Head, 240x240 px, Image covers 240 mm x 240 mm, Slice 111/155
FLAIR magnetic resonance.
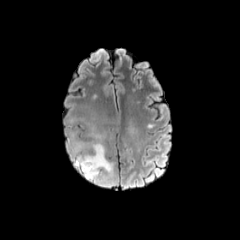
T1-weighted magnetic resonance.
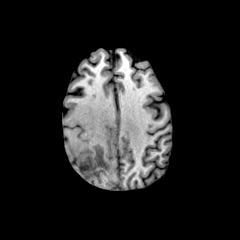
Post-contrast T1-weighted MR image.
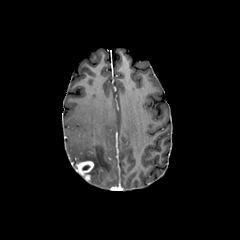
T2-weighted magnetic resonance.
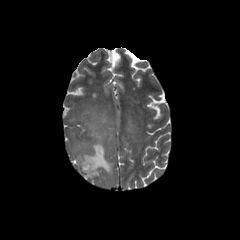
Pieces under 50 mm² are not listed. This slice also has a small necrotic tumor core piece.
{"enhancing_tumor": ["region(77, 161, 93, 177)"], "peritumoral_edema": ["region(73, 126, 114, 184)"]}